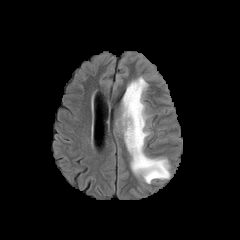
FLAIR MR image.
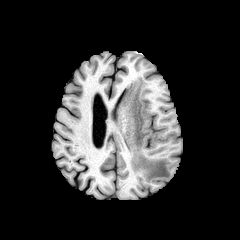
Same slice, T1-weighted magnetic resonance.
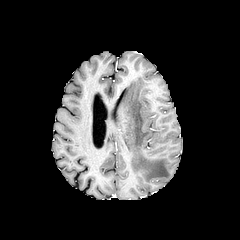
Post-contrast T1-weighted MR of the same slice.
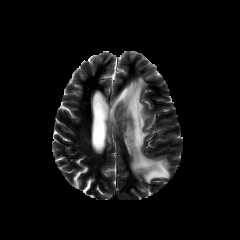
T2-weighted MR.
{
  "peritumoral_edema": [
    "[x1=122, y1=77, x2=170, y2=183]"
  ]
}